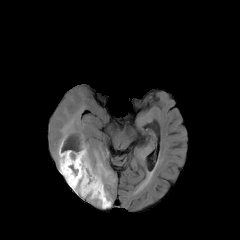
FLAIR MR image.
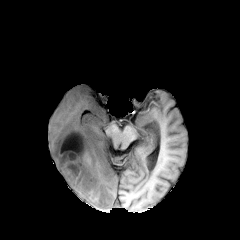
Same slice, T1-weighted MRI.
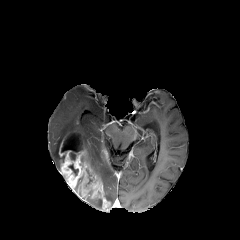
Post-contrast T1-weighted magnetic resonance.
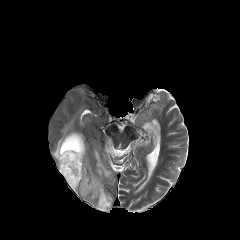
T2-weighted MR image.
Axial view.
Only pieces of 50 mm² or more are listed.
{
  "peritumoral_edema": [
    "[86, 197, 101, 208]",
    "[52, 115, 115, 207]"
  ],
  "enhancing_tumor": [
    "[58, 130, 110, 210]"
  ],
  "necrotic_tumor_core": [
    "[69, 164, 78, 175]",
    "[61, 133, 82, 159]"
  ]
}